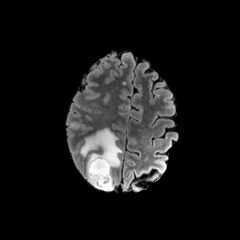
FLAIR MR image.
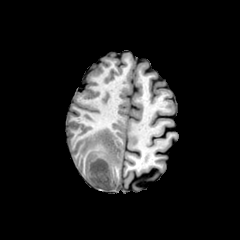
Same slice, T1-weighted magnetic resonance.
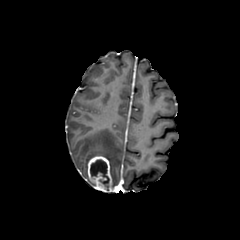
Same slice, post-contrast T1-weighted MR.
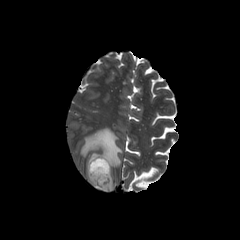
T2-weighted magnetic resonance.
Axial view
{"necrotic_tumor_core": ["<box>90,159,109,190</box>"], "enhancing_tumor": ["<box>87,155,113,191</box>"], "peritumoral_edema": ["<box>80,128,122,187</box>"]}